Brain | Axial plane | Slice 72/155
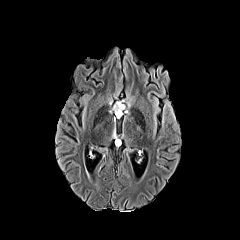
FLAIR MRI.
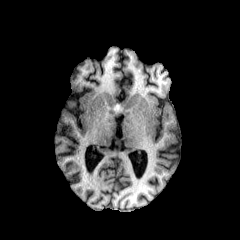
T1-weighted MR image of the same slice.
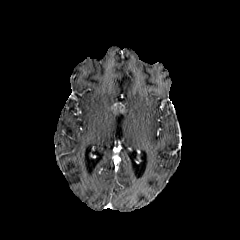
Same slice, post-contrast T1-weighted MR image.
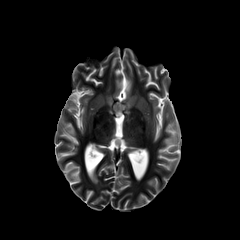
T2-weighted MR of the same slice.
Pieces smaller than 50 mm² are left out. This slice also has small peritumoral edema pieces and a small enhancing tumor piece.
necrotic tumor core = 115, 104, 121, 117